FLAIR MR image.
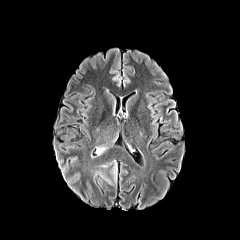
T1-weighted magnetic resonance.
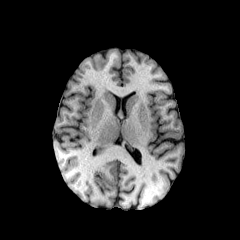
Post-contrast T1-weighted MRI.
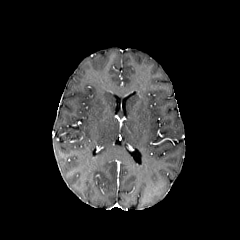
T2-weighted MRI.
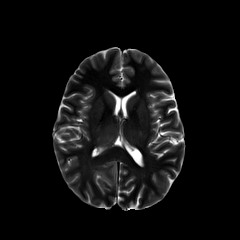
Head, 240x240
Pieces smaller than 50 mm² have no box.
peritumoral edema: bounding box {"x1": 113, "y1": 164, "x2": 116, "y2": 179}